Head | Image covers 240 mm x 240 mm | Slice 80 of 155 | Axial plane
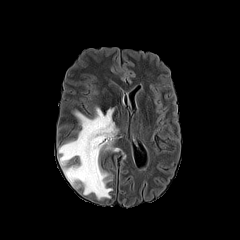
FLAIR MRI.
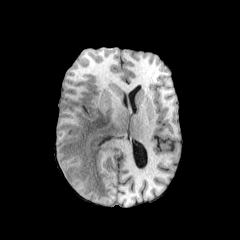
T1-weighted MRI of the same slice.
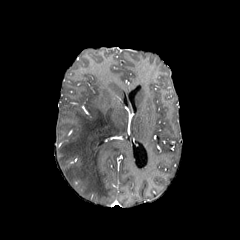
Same slice, post-contrast T1-weighted magnetic resonance.
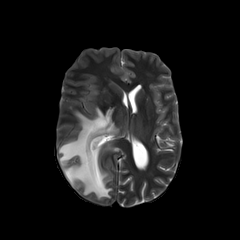
Same slice, T2-weighted MRI.
peritumoral edema at left=58, top=107, right=119, bottom=199